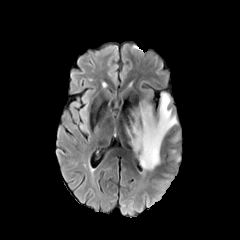
FLAIR magnetic resonance.
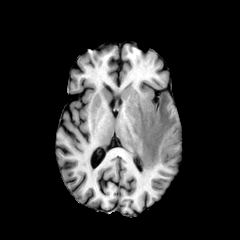
T1-weighted MR.
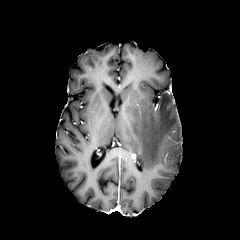
Same slice, post-contrast T1-weighted MR.
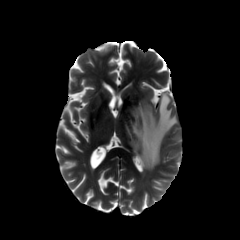
Same slice, T2-weighted MRI.
Axial plane
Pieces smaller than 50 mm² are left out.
The largest peritumoral edema region appears at {"x1": 127, "y1": 93, "x2": 177, "y2": 171}.